Head, Axial view, Slice 111 of 155
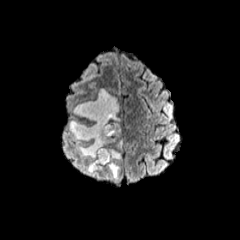
FLAIR MRI.
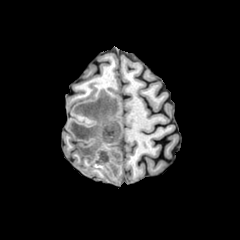
T1-weighted magnetic resonance of the same slice.
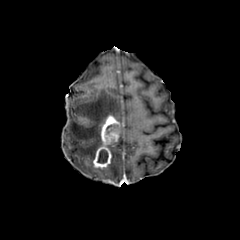
Post-contrast T1-weighted magnetic resonance.
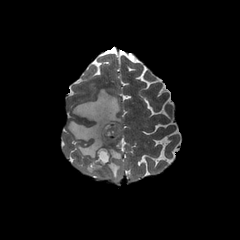
T2-weighted MRI.
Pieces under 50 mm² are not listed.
Findings:
* peritumoral edema: 68:89:120:174, 104:148:121:179
* necrotic tumor core: 105:124:119:140, 97:149:108:163
* enhancing tumor: 92:114:120:168